FLAIR MRI.
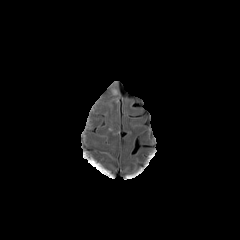
T1-weighted MR image.
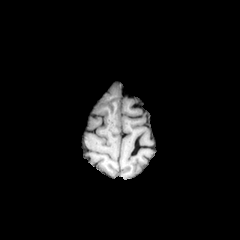
Post-contrast T1-weighted MR image.
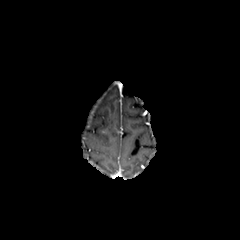
T2-weighted MRI.
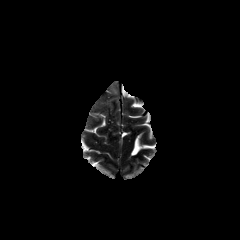
240x240. Brain. Axial view.
<segmentation>
  <peritumoral_edema>111, 85, 119, 101</peritumoral_edema>
</segmentation>